FLAIR MR.
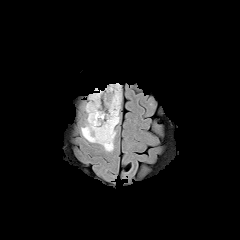
T1-weighted MRI.
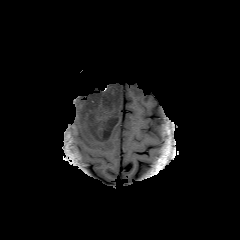
Post-contrast T1-weighted magnetic resonance.
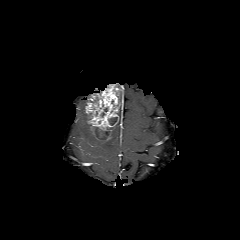
T2-weighted MR image.
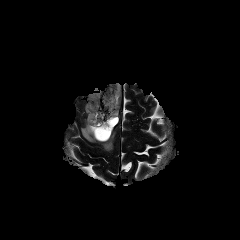
Head, Axial slice
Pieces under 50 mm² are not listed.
The largest peritumoral edema region is at (81,115,116,151). The enhancing tumor appears at (85,83,120,141). The 2 largest necrotic tumor core regions are located at (109,117,117,125), (93,127,111,140).